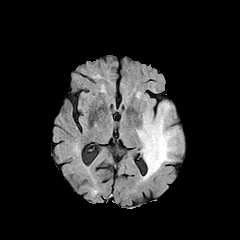
FLAIR MR.
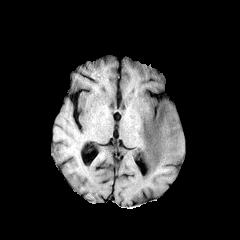
T1-weighted MR image.
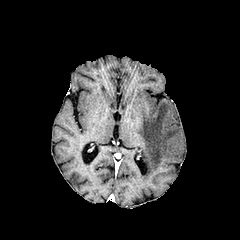
Post-contrast T1-weighted MRI.
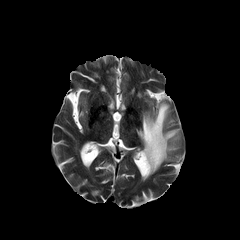
T2-weighted MRI.
Axial view.
The peritumoral edema is located at 136,102,180,180.